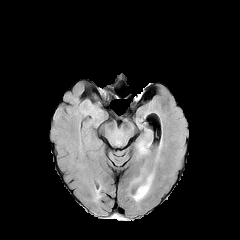
FLAIR magnetic resonance.
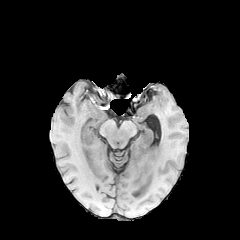
T1-weighted MR image.
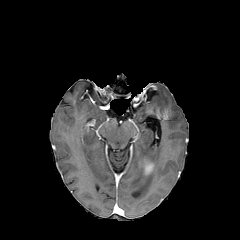
Post-contrast T1-weighted MR.
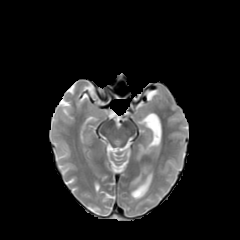
Same slice, T2-weighted MR image.
Brain. Axial plane.
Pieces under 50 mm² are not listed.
enhancing tumor: (x1=144, y1=162, x2=153, y2=174)
peritumoral edema: (x1=138, y1=143, x2=147, y2=157), (x1=132, y1=172, x2=153, y2=200)